Axial slice, Brain, Image width 240 mm, 1.00 mm slice spacing
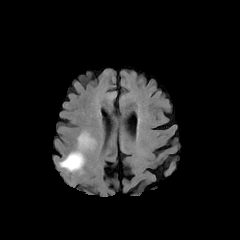
FLAIR MR image.
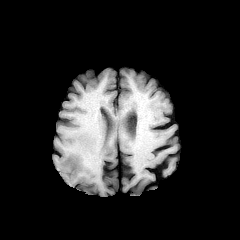
T1-weighted magnetic resonance.
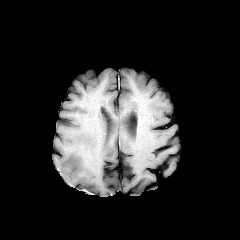
Same slice, post-contrast T1-weighted MRI.
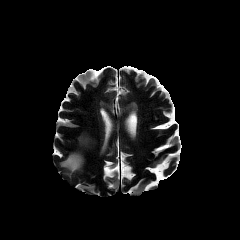
T2-weighted MR image of the same slice.
The peritumoral edema is located at 59,133,94,172.